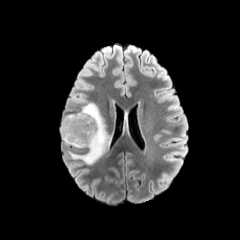
FLAIR MRI.
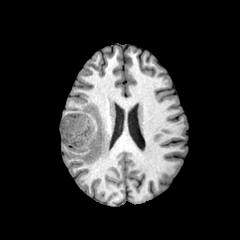
T1-weighted magnetic resonance.
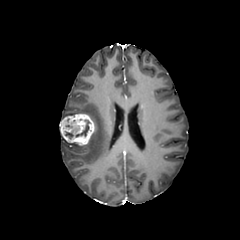
Post-contrast T1-weighted magnetic resonance.
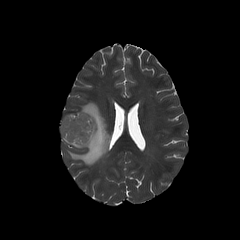
T2-weighted MR image of the same slice.
Brain
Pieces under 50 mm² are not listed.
enhancing tumor = (left=60, top=113, right=94, bottom=146)
peritumoral edema = (left=61, top=102, right=110, bottom=164)
necrotic tumor core = (left=76, top=119, right=90, bottom=136)